FLAIR MR image.
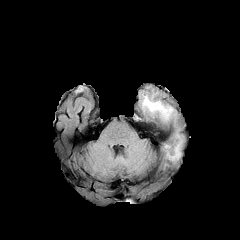
T1-weighted MR.
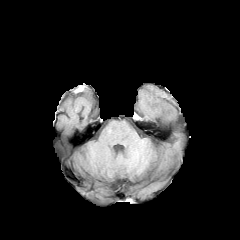
Post-contrast T1-weighted magnetic resonance.
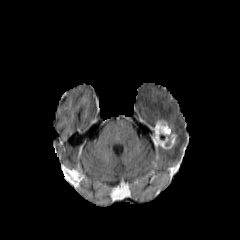
T2-weighted MR image.
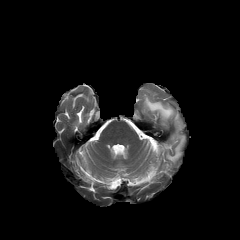
Axial slice
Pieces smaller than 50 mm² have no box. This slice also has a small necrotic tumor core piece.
• peritumoral edema: 141:91:184:161
• enhancing tumor: 155:120:176:149